FLAIR MR.
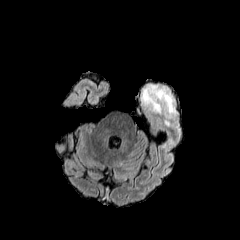
T1-weighted MR.
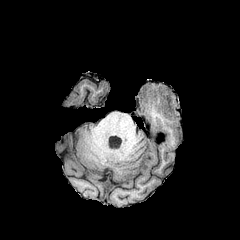
Post-contrast T1-weighted MR image.
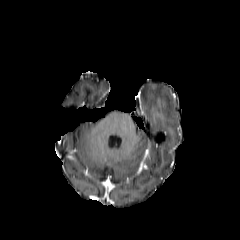
T2-weighted MR.
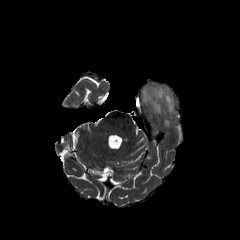
240x240 px.
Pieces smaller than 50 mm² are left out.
The largest peritumoral edema region is at x1=142, y1=83, x2=176, y2=114.